Axial slice, 240x240, Slice 90/155
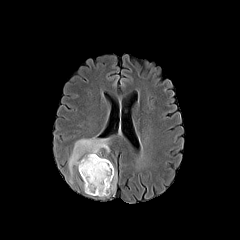
FLAIR MR image.
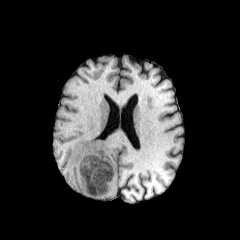
Same slice, T1-weighted MRI.
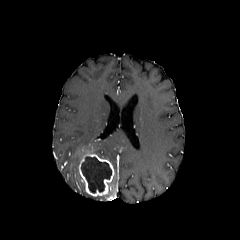
Post-contrast T1-weighted magnetic resonance.
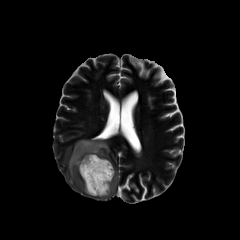
T2-weighted MR.
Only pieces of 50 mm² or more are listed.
<segmentation>
  <enhancing_tumor>{"x1": 78, "y1": 153, "x2": 115, "y2": 196}</enhancing_tumor>
  <necrotic_tumor_core>{"x1": 81, "y1": 157, "x2": 111, "y2": 192}</necrotic_tumor_core>
  <peritumoral_edema>{"x1": 68, "y1": 138, "x2": 110, "y2": 175}, {"x1": 107, "y1": 172, "x2": 117, "y2": 196}</peritumoral_edema>
</segmentation>